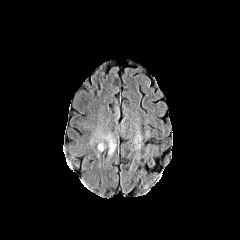
FLAIR MR.
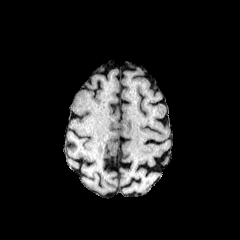
T1-weighted MRI of the same slice.
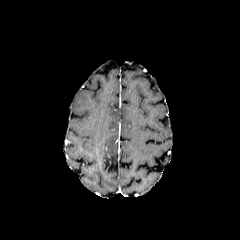
Post-contrast T1-weighted MRI.
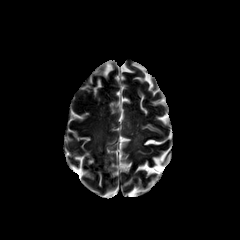
T2-weighted MR image.
Head
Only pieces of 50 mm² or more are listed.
peritumoral edema — box=[107, 136, 115, 154]